FLAIR magnetic resonance.
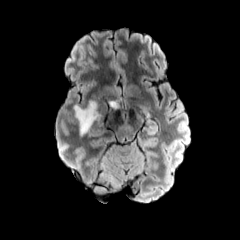
T1-weighted MRI.
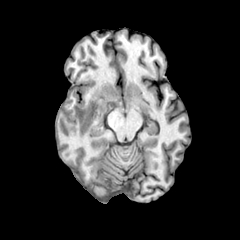
Post-contrast T1-weighted MRI.
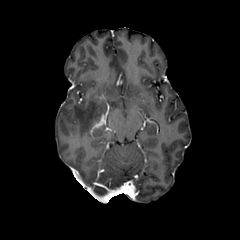
T2-weighted magnetic resonance.
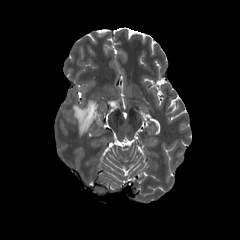
Brain. Image size 240x240.
peritumoral_edema:
  - (x1=73, y1=101, x2=98, y2=135)
  - (x1=108, y1=98, x2=120, y2=108)